240x240 px | Slice 112/155 | Axial view | Image covers 240 mm x 240 mm | Head
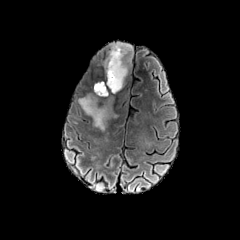
FLAIR MR.
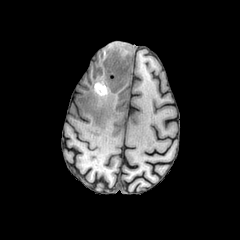
T1-weighted MR.
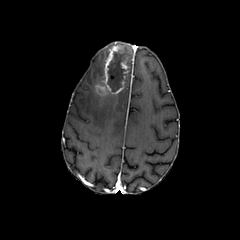
Same slice, post-contrast T1-weighted MR.
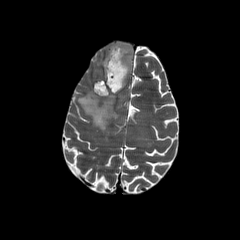
T2-weighted MR.
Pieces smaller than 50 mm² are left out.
- peritumoral edema: (left=78, top=81, right=116, bottom=131)
- necrotic tumor core: (left=107, top=47, right=129, bottom=91)
- enhancing tumor: (left=95, top=43, right=132, bottom=95)